Image covers 240 mm x 240 mm; Axial view
FLAIR MR.
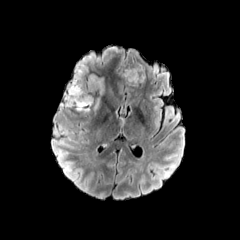
T1-weighted MRI.
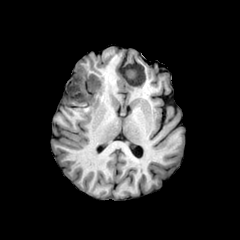
Post-contrast T1-weighted MRI.
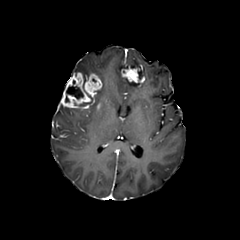
T2-weighted magnetic resonance.
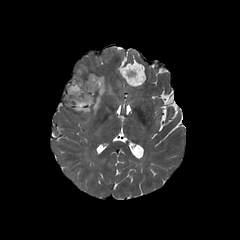
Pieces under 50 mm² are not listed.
peritumoral edema: x1=99, y1=77, x2=104, y2=95; x1=74, y1=62, x2=90, y2=75; x1=117, y1=63, x2=141, y2=86; x1=93, y1=97, x2=100, y2=112 | necrotic tumor core: x1=66, y1=86, x2=83, y2=98 | enhancing tumor: x1=60, y1=71, x2=102, y2=112; x1=120, y1=64, x2=145, y2=86